FLAIR MR image.
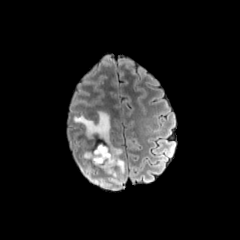
T1-weighted MR image.
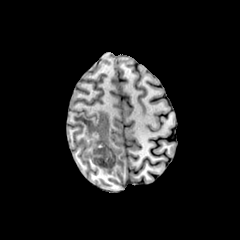
Post-contrast T1-weighted MR.
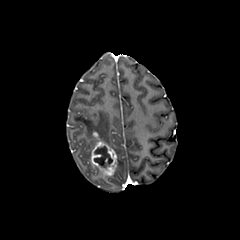
T2-weighted MRI.
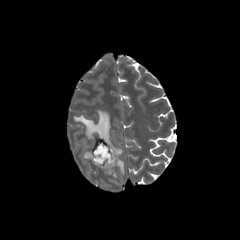
Axial plane; 240x240 px; Brain
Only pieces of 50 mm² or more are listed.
necrotic tumor core: 94, 146, 112, 167 | peritumoral edema: 73, 111, 124, 183 | enhancing tumor: 90, 131, 117, 175